FLAIR MRI.
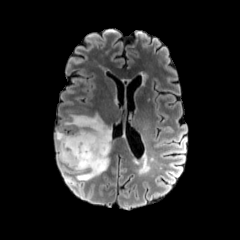
T1-weighted MRI.
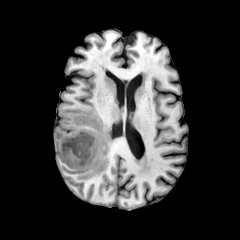
Post-contrast T1-weighted magnetic resonance.
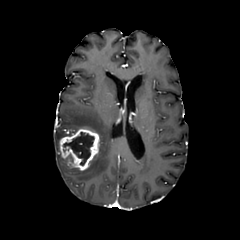
T2-weighted MR image.
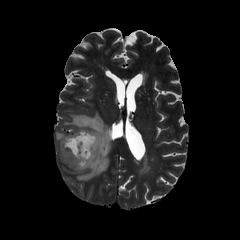
Brain | 240x240 px
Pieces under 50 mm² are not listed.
Annotated regions:
- enhancing tumor: 59:128:99:170
- necrotic tumor core: 63:132:94:165
- peritumoral edema: 55:108:111:180